FLAIR magnetic resonance.
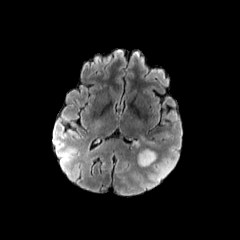
T1-weighted MR image.
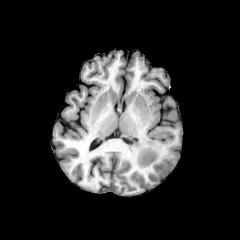
Post-contrast T1-weighted magnetic resonance.
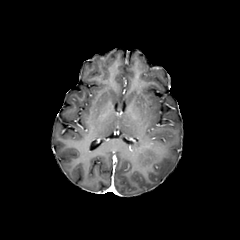
T2-weighted MRI.
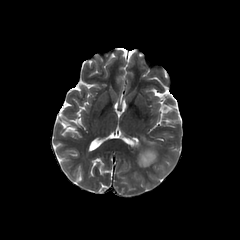
240x240 px
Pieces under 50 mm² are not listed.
The 2 largest peritumoral edema regions are located at [x1=133, y1=137, x2=144, y2=147], [x1=137, y1=148, x2=157, y2=166].